FLAIR magnetic resonance.
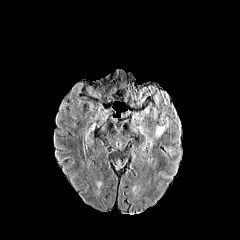
T1-weighted magnetic resonance.
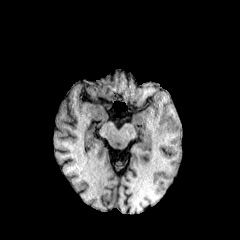
Post-contrast T1-weighted MR.
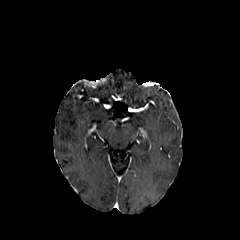
T2-weighted magnetic resonance.
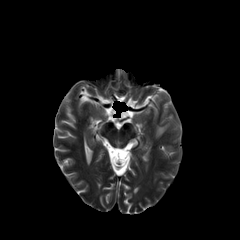
Axial plane, Head
peritumoral edema = rect(155, 122, 168, 137)